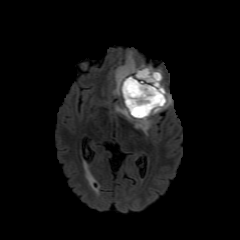
FLAIR magnetic resonance.
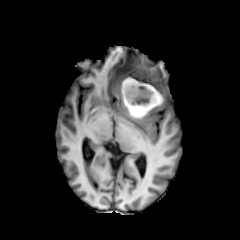
T1-weighted MR image.
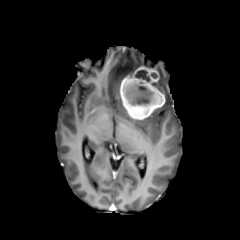
Post-contrast T1-weighted MR image of the same slice.
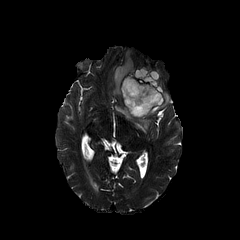
Same slice, T2-weighted MRI.
Head | Axial view
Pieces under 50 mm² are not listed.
enhancing tumor: bounding box bbox=[120, 66, 165, 119]
necrotic tumor core: bounding box bbox=[123, 70, 162, 115]
peritumoral edema: bounding box bbox=[115, 103, 151, 133]; bbox=[113, 52, 136, 95]; bbox=[150, 91, 171, 115]